Axial view | Image width 240 mm, 1.00 mm slice spacing
FLAIR MRI.
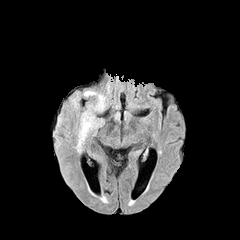
T1-weighted MRI.
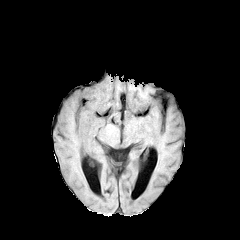
Post-contrast T1-weighted magnetic resonance.
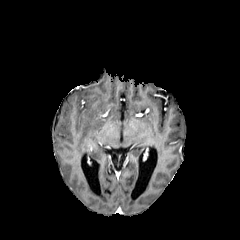
T2-weighted MR.
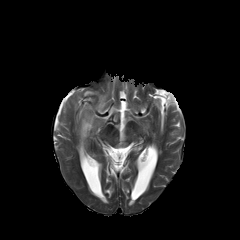
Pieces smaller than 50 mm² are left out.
The 4 largest peritumoral edema regions appear at box(69, 98, 81, 103); box(78, 95, 105, 150); box(84, 88, 95, 95); box(56, 103, 63, 141).